240x240. Slice 100 of 155.
FLAIR MR image.
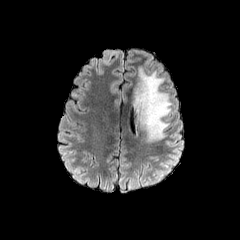
T1-weighted MRI.
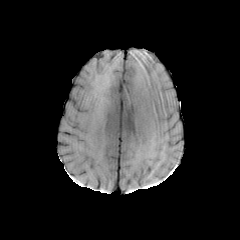
Post-contrast T1-weighted MRI.
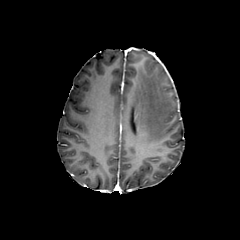
T2-weighted MRI.
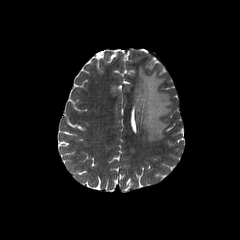
peritumoral edema: 130, 67, 170, 141